FLAIR magnetic resonance.
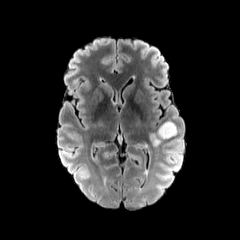
T1-weighted magnetic resonance.
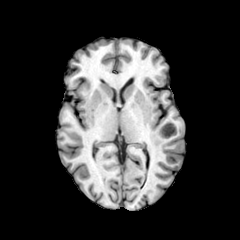
Post-contrast T1-weighted MRI.
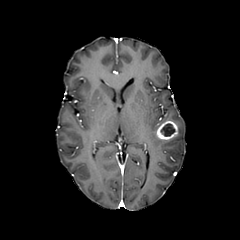
T2-weighted magnetic resonance.
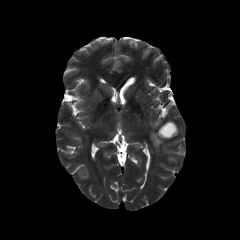
Brain
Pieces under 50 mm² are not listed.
necrotic_tumor_core:
  - 160, 123, 175, 136
enhancing_tumor:
  - 156, 120, 177, 139
peritumoral_edema:
  - 151, 133, 164, 146